Image width 240 mm, 1.00 mm slice spacing. Slice index 42.
FLAIR magnetic resonance.
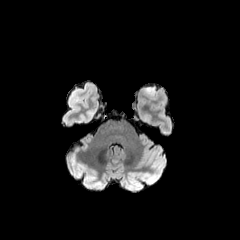
T1-weighted magnetic resonance.
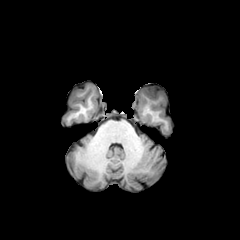
Post-contrast T1-weighted MRI.
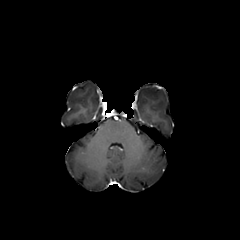
T2-weighted magnetic resonance.
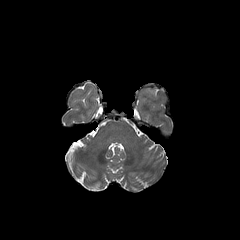
{
  "peritumoral_edema": [
    "146:87:155:94"
  ]
}